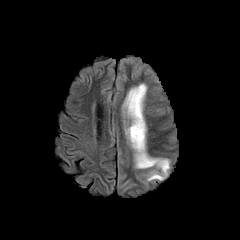
FLAIR MRI.
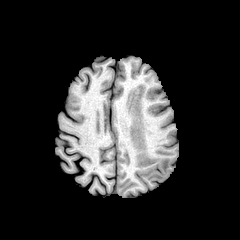
T1-weighted MRI of the same slice.
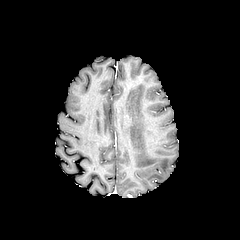
Post-contrast T1-weighted MRI.
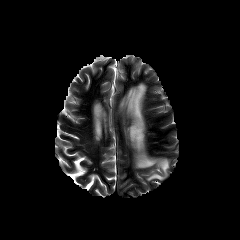
T2-weighted MR image of the same slice.
Brain; Axial slice
peritumoral_edema:
  - [x1=124, y1=84, x2=169, y2=180]